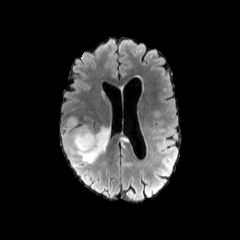
FLAIR MRI.
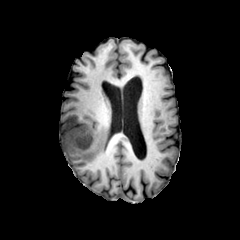
T1-weighted MRI of the same slice.
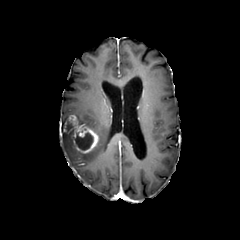
Same slice, post-contrast T1-weighted MR.
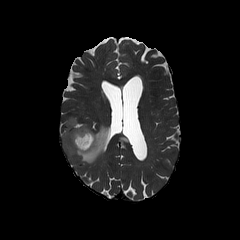
T2-weighted MR.
Axial plane.
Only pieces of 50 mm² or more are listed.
peritumoral edema: (61, 123, 111, 163) | enhancing tumor: (65, 114, 99, 153) | necrotic tumor core: (75, 131, 93, 150)